FLAIR magnetic resonance.
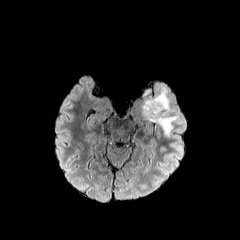
T1-weighted MRI.
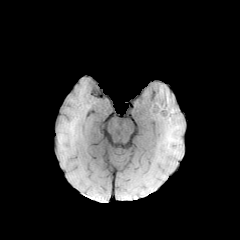
Post-contrast T1-weighted MRI.
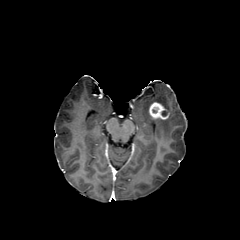
T2-weighted magnetic resonance.
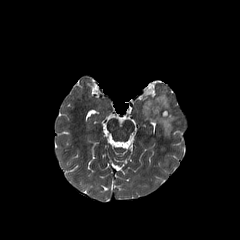
Brain
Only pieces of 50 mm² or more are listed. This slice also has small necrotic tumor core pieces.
{"enhancing_tumor": ["x1=149, y1=102, x2=169, y2=119"], "peritumoral_edema": ["x1=141, y1=88, x2=177, y2=137"]}